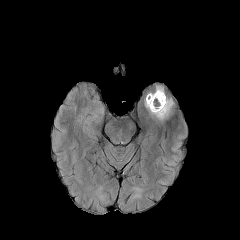
FLAIR MRI.
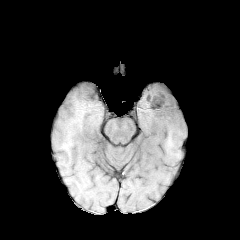
T1-weighted MRI.
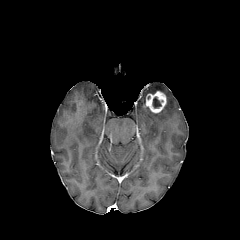
Post-contrast T1-weighted MR image of the same slice.
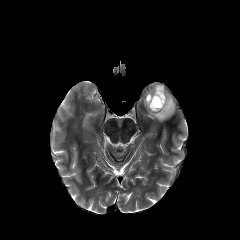
T2-weighted magnetic resonance.
Brain, Axial view
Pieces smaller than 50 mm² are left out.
peritumoral edema: bounding box (148, 85, 164, 94), (144, 97, 174, 121)
necrotic tumor core: bounding box (152, 97, 161, 108)
enhancing tumor: bounding box (146, 91, 166, 112)